Image size 240x240 | Head | Image width 240 mm, 1.00 mm slice spacing | Axial slice
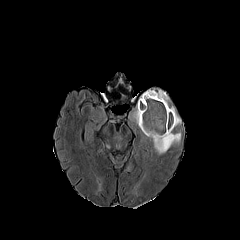
FLAIR MR image.
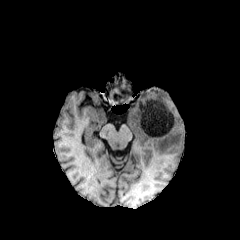
T1-weighted MRI of the same slice.
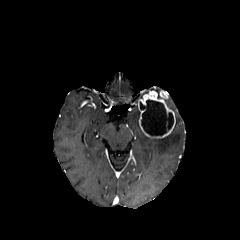
Post-contrast T1-weighted MR image.
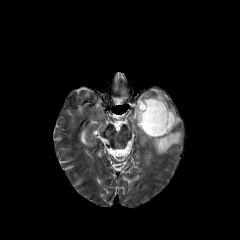
Same slice, T2-weighted MR.
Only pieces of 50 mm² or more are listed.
peritumoral_edema:
  - bbox(152, 130, 181, 154)
  - bbox(171, 105, 181, 125)
  - bbox(128, 106, 139, 124)
enhancing_tumor:
  - bbox(138, 90, 175, 138)
necrotic_tumor_core:
  - bbox(140, 100, 173, 135)